Image width 240 mm, 1.00 mm slice spacing. Brain. Axial slice. Slice 61/155.
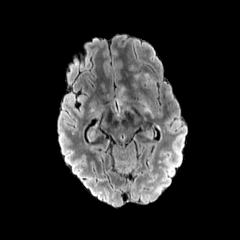
FLAIR MR.
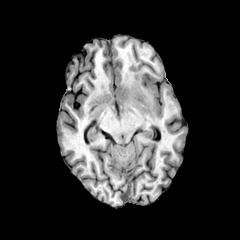
T1-weighted MR.
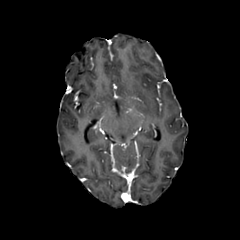
Same slice, post-contrast T1-weighted MR image.
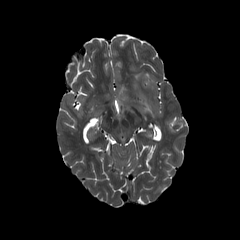
T2-weighted MR of the same slice.
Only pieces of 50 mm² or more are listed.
{
  "peritumoral_edema": [
    "(x1=118, y1=87, x2=127, y2=105)",
    "(x1=142, y1=72, x2=151, y2=82)",
    "(x1=138, y1=94, x2=152, y2=114)"
  ]
}